Axial view | 240x240 px | Slice index 128
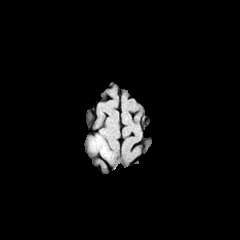
FLAIR MRI.
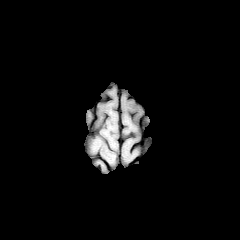
Same slice, T1-weighted MR image.
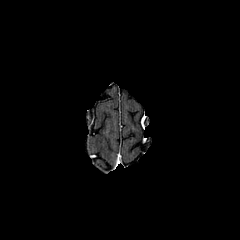
Same slice, post-contrast T1-weighted MR.
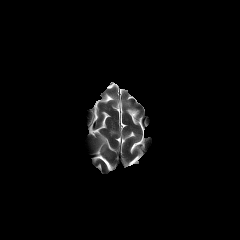
T2-weighted MR.
peritumoral edema — bbox(88, 135, 115, 165)